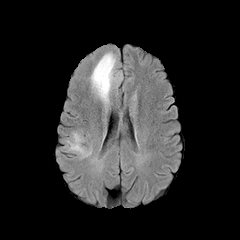
FLAIR MR.
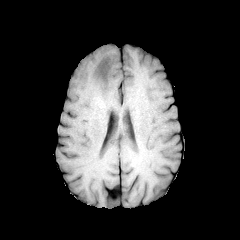
T1-weighted MR image.
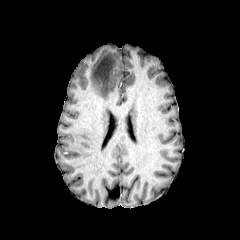
Post-contrast T1-weighted MR.
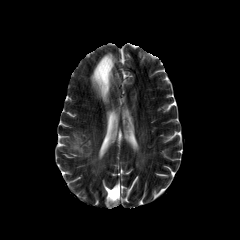
T2-weighted MR.
Head, Axial plane
peritumoral edema: region(90, 52, 116, 104)